Brain.
FLAIR MRI.
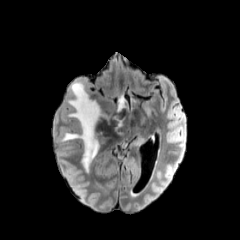
T1-weighted magnetic resonance.
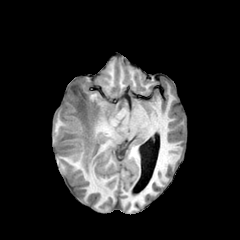
Post-contrast T1-weighted MRI.
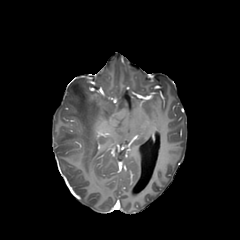
T2-weighted magnetic resonance.
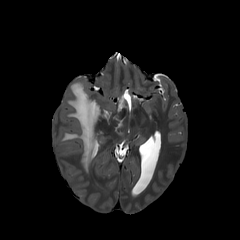
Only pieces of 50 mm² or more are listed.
peritumoral edema at box=[117, 96, 126, 111]; box=[113, 116, 125, 131]; box=[58, 81, 112, 172]; box=[58, 145, 74, 150]